240x240 px | Image width 240 mm, 1.00 mm slice spacing | Brain | Axial view
FLAIR magnetic resonance.
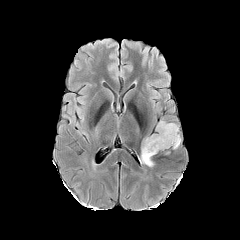
T1-weighted MRI.
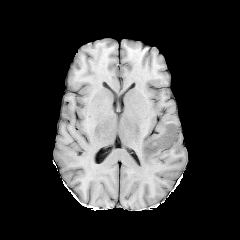
Post-contrast T1-weighted MR image.
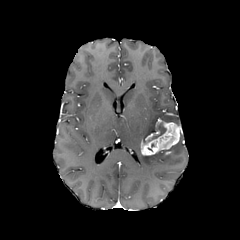
T2-weighted MRI.
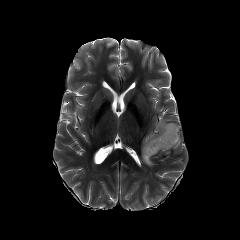
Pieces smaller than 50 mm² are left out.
The largest enhancing tumor region is located at (x1=141, y1=120, x2=181, y2=155). The largest necrotic tumor core region is located at (x1=148, y1=123, x2=166, y2=141). The largest peritumoral edema region lies within (x1=140, y1=153, x2=153, y2=166).